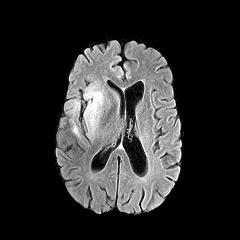
FLAIR MRI.
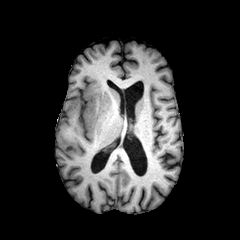
Same slice, T1-weighted magnetic resonance.
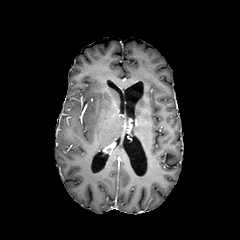
Post-contrast T1-weighted MR of the same slice.
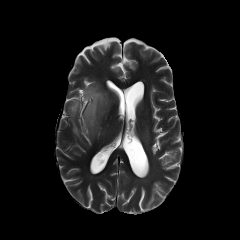
T2-weighted MRI of the same slice.
Brain. 240x240.
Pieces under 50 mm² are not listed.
peritumoral edema: 71 100 79 115, 84 86 104 132